FLAIR MR image.
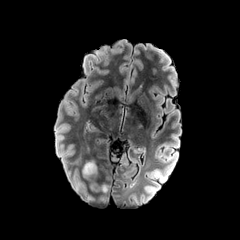
T1-weighted MRI.
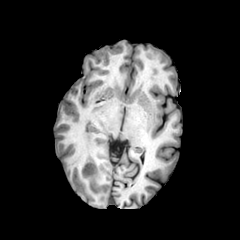
Post-contrast T1-weighted MR image.
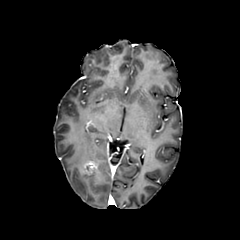
T2-weighted MRI.
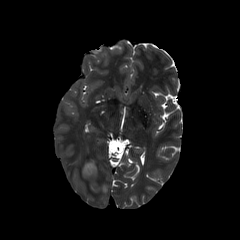
Axial view
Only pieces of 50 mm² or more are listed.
Annotated regions:
• enhancing tumor: left=84, top=161, right=97, bottom=173
• peritumoral edema: left=81, top=166, right=108, bottom=193